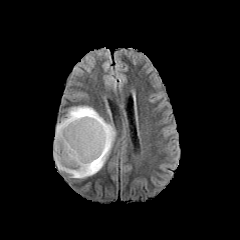
FLAIR magnetic resonance.
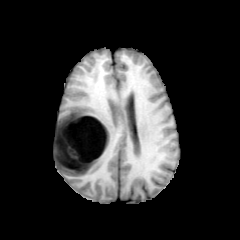
T1-weighted magnetic resonance of the same slice.
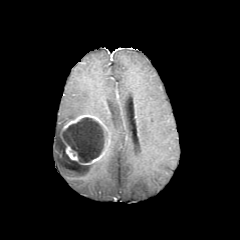
Post-contrast T1-weighted magnetic resonance.
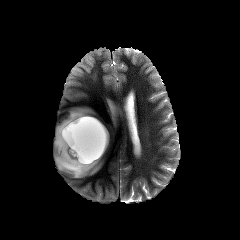
T2-weighted MR image.
Axial view | 240x240 px | Head
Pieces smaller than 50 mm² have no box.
necrotic tumor core — rect(62, 117, 107, 162)
enhancing tumor — rect(60, 114, 109, 164)
peritumoral edema — rect(53, 106, 115, 178)